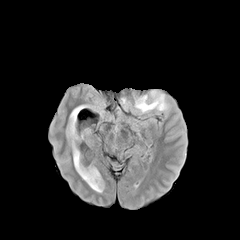
FLAIR MRI.
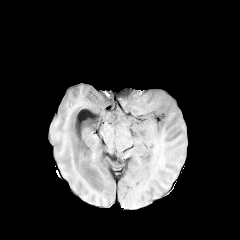
T1-weighted MR image.
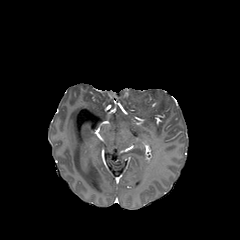
Post-contrast T1-weighted MR.
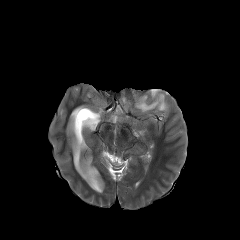
T2-weighted MR image.
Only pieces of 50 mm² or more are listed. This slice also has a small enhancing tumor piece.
peritumoral edema at 135, 91, 167, 112